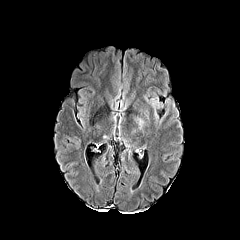
FLAIR MR image.
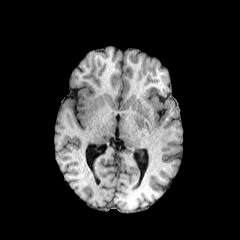
Same slice, T1-weighted MR.
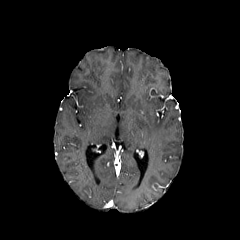
Post-contrast T1-weighted MR.
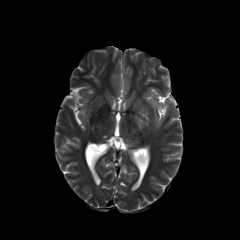
Same slice, T2-weighted MRI.
The peritumoral edema lies within (x1=136, y1=117, x2=144, y2=128).